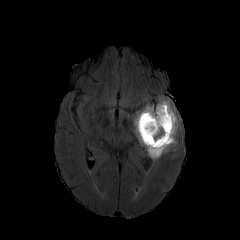
FLAIR magnetic resonance.
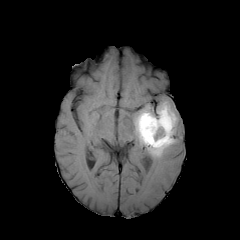
T1-weighted magnetic resonance of the same slice.
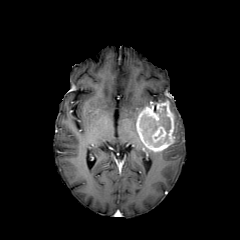
Post-contrast T1-weighted MRI.
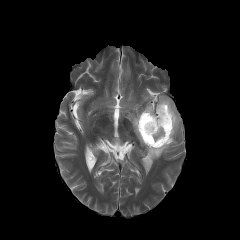
T2-weighted MRI.
Head; Image size 240x240
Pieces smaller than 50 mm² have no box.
<segmentation>
  <necrotic_tumor_core>159,106,170,133; 141,115,157,143</necrotic_tumor_core>
  <enhancing_tumor>142,122,153,135; 136,100,174,152</enhancing_tumor>
  <peritumoral_edema>145,96,180,160; 132,109,144,146</peritumoral_edema>
</segmentation>